FLAIR MR.
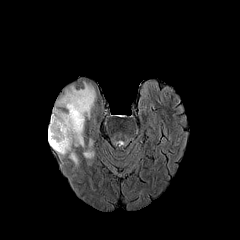
T1-weighted MR image.
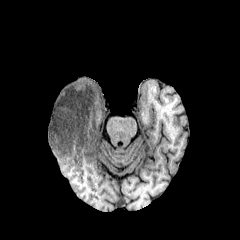
Post-contrast T1-weighted MR.
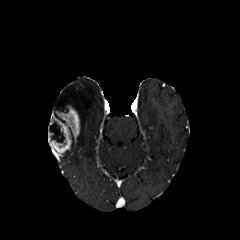
T2-weighted MR image.
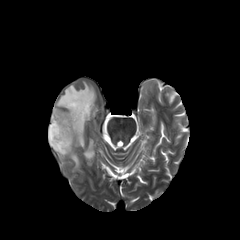
Brain | 240x240 px
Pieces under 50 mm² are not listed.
peritumoral edema: (left=56, top=82, right=95, bottom=147), (left=84, top=150, right=93, bottom=158), (left=69, top=152, right=78, bottom=166) | enhancing tumor: (left=48, top=105, right=80, bottom=157) | necrotic tumor core: (left=49, top=122, right=64, bottom=142)